FLAIR MR.
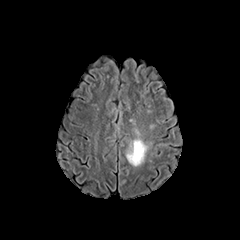
T1-weighted MRI.
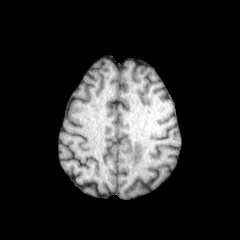
Post-contrast T1-weighted MR image.
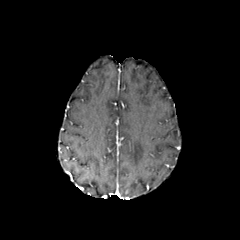
T2-weighted MR image.
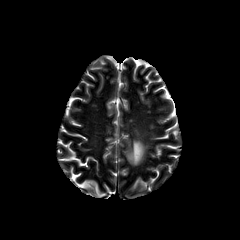
Axial plane. Brain.
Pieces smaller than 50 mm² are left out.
peritumoral_edema:
  - region(126, 128, 149, 166)